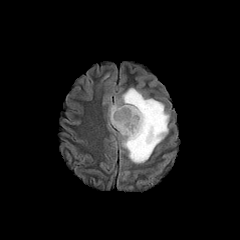
FLAIR magnetic resonance.
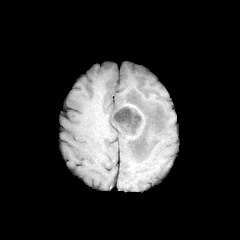
Same slice, T1-weighted MRI.
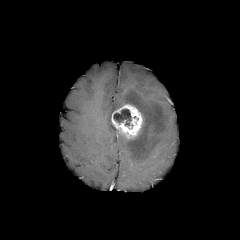
Same slice, post-contrast T1-weighted MRI.
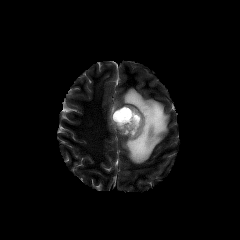
T2-weighted MR image.
Axial plane.
necrotic tumor core: [113,109,131,125] | peritumoral edema: [109,87,169,163] | enhancing tumor: [111,104,142,138]